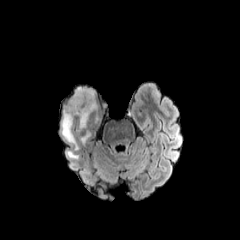
FLAIR MR image.
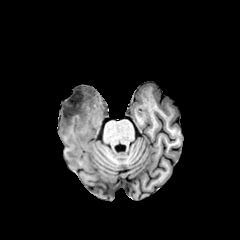
T1-weighted magnetic resonance.
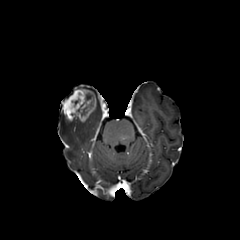
Post-contrast T1-weighted magnetic resonance.
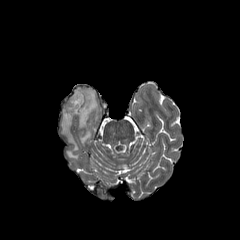
T2-weighted MRI.
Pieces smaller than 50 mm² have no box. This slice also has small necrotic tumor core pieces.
The 3 largest peritumoral edema regions are bounded by bbox=[80, 132, 90, 143]; bbox=[79, 119, 87, 129]; bbox=[61, 113, 78, 159]. The enhancing tumor appears at bbox=[62, 88, 96, 121].